FLAIR MRI.
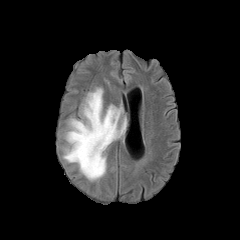
T1-weighted MR.
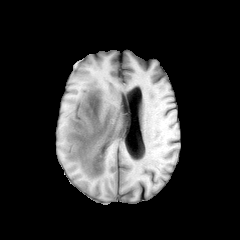
Post-contrast T1-weighted MRI.
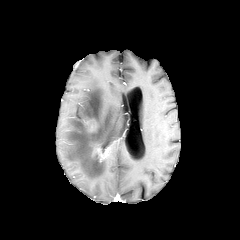
T2-weighted MR image.
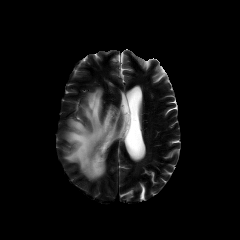
Brain
2 enhancing tumor regions are bounded by bbox=[93, 147, 107, 161]; bbox=[89, 120, 97, 131]. The peritumoral edema is bounded by bbox=[64, 88, 126, 180].